Image covers 240 mm x 240 mm. Head. 240x240 px. Axial slice.
FLAIR MR.
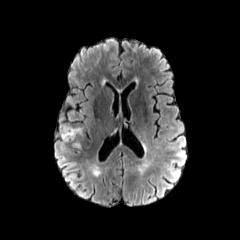
T1-weighted MR.
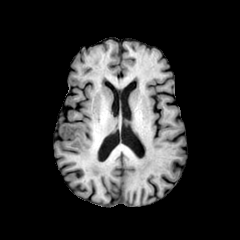
Post-contrast T1-weighted MR.
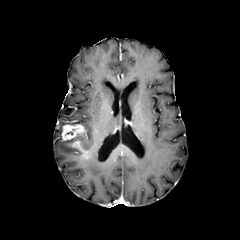
T2-weighted MRI.
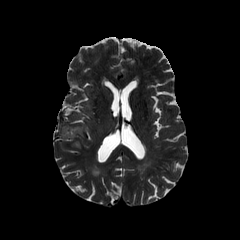
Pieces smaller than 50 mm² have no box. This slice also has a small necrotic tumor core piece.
Segmented structures:
• enhancing tumor: rect(61, 124, 84, 140); rect(71, 140, 89, 158)